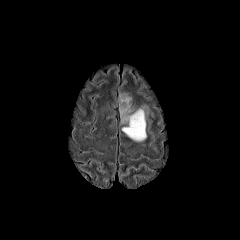
FLAIR MR.
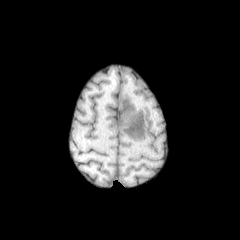
T1-weighted MR.
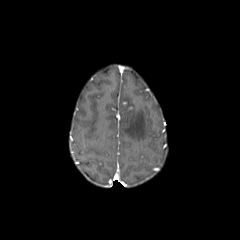
Post-contrast T1-weighted MRI of the same slice.
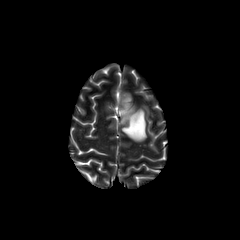
T2-weighted MRI.
Head, Image size 240x240
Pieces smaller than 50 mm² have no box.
- peritumoral edema: (120, 109, 146, 141)